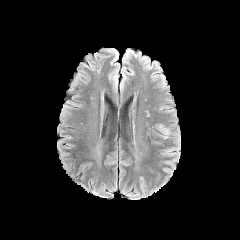
FLAIR magnetic resonance.
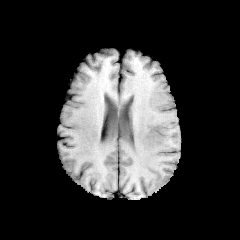
T1-weighted MRI.
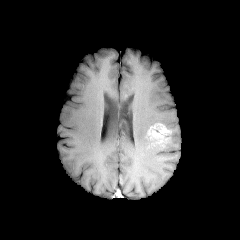
Post-contrast T1-weighted magnetic resonance of the same slice.
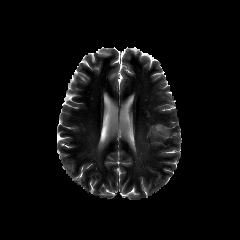
T2-weighted MR of the same slice.
Head, Axial view
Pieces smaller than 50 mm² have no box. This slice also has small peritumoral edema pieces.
enhancing_tumor:
  - l=148, t=124, r=168, b=138